FLAIR MR image.
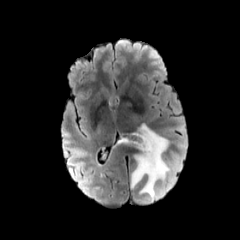
T1-weighted MR image.
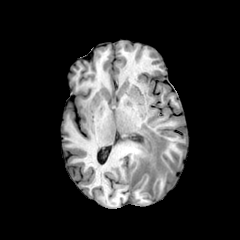
Post-contrast T1-weighted magnetic resonance.
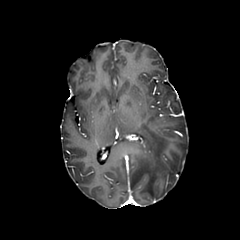
T2-weighted MRI.
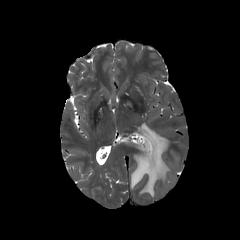
Axial plane, Head, 240x240 px
Findings:
- peritumoral edema: <box>129,123,169,198</box>